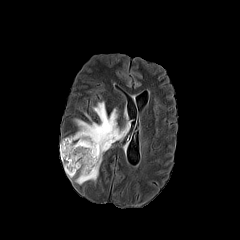
FLAIR MRI.
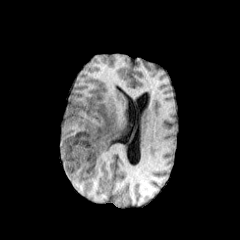
T1-weighted MRI of the same slice.
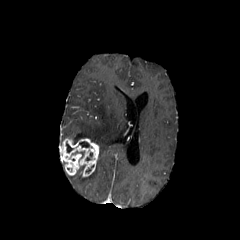
Same slice, post-contrast T1-weighted MR image.
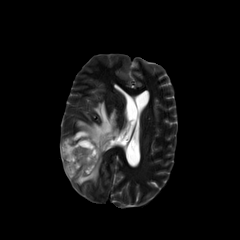
T2-weighted MR.
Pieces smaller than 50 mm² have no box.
Annotated regions:
• necrotic tumor core: 79:141:89:147
• enhancing tumor: 59:137:99:177
• peritumoral edema: 71:101:130:184